Image width 240 mm, 1.00 mm slice spacing; Brain
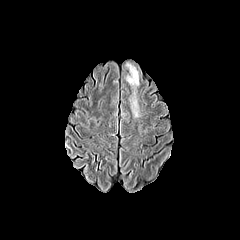
FLAIR MRI.
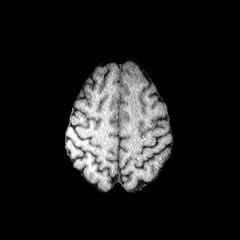
Same slice, T1-weighted MR image.
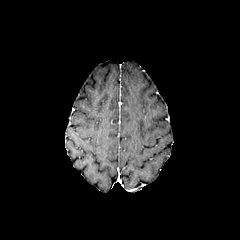
Post-contrast T1-weighted MR.
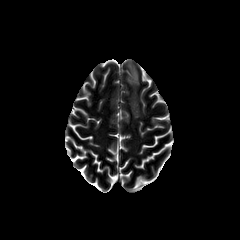
T2-weighted magnetic resonance of the same slice.
{"peritumoral_edema": ["[127, 64, 138, 85]", "[132, 99, 138, 117]"]}